Image width 240 mm. Brain. Slice 81/155.
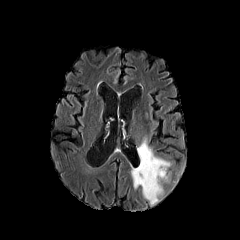
FLAIR MR.
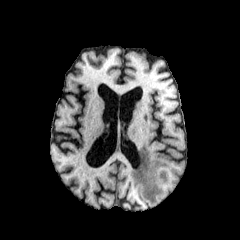
Same slice, T1-weighted MR.
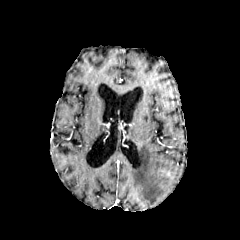
Post-contrast T1-weighted MR of the same slice.
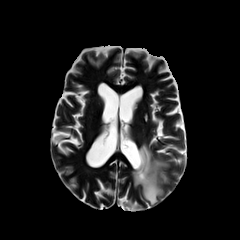
T2-weighted MR image.
peritumoral_edema:
  - box=[131, 139, 170, 205]